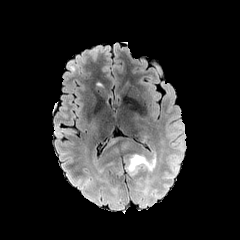
FLAIR magnetic resonance.
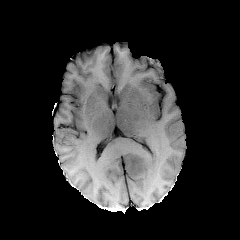
Same slice, T1-weighted MR image.
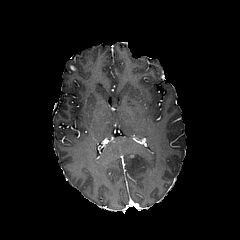
Post-contrast T1-weighted MR image.
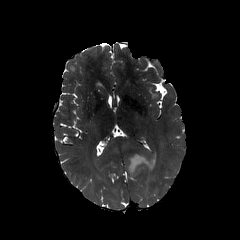
T2-weighted MR of the same slice.
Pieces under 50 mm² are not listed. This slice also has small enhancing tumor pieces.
2 peritumoral edema regions appear at (111, 145, 130, 154), (127, 154, 155, 175).